FLAIR MR.
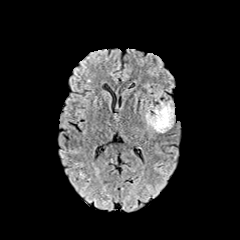
T1-weighted magnetic resonance.
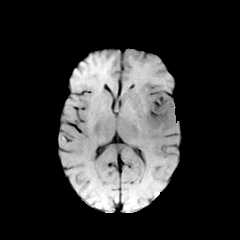
Post-contrast T1-weighted magnetic resonance.
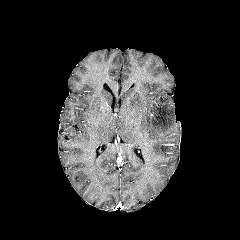
T2-weighted magnetic resonance.
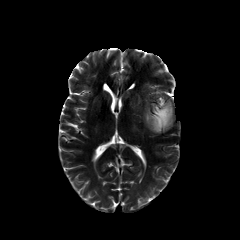
240x240 px
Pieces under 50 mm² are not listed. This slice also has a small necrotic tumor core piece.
<segmentation>
  <peritumoral_edema><bbox>145, 101, 174, 132</bbox></peritumoral_edema>
</segmentation>